FLAIR magnetic resonance.
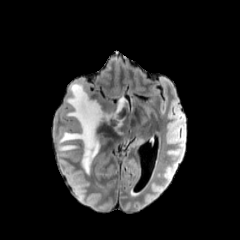
T1-weighted MR image.
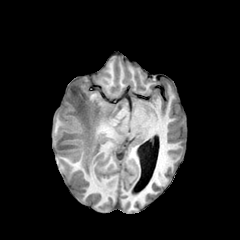
Post-contrast T1-weighted magnetic resonance.
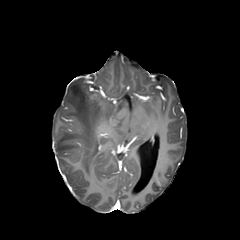
T2-weighted MR.
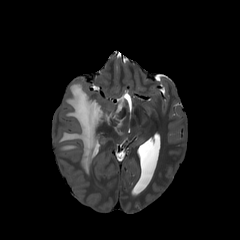
Brain
peritumoral edema: bbox(56, 82, 126, 174)